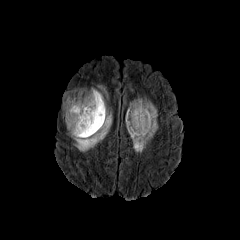
FLAIR MRI.
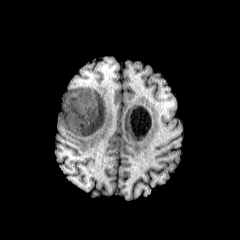
T1-weighted MR image.
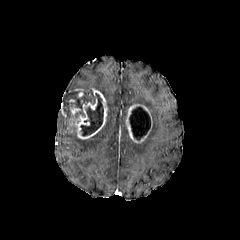
Post-contrast T1-weighted magnetic resonance.
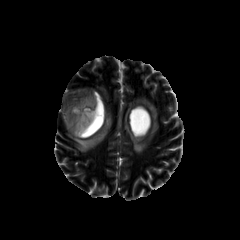
T2-weighted magnetic resonance.
Axial slice
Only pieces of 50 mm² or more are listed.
necrotic tumor core — [x1=75, y1=98, x2=84, y2=115], [x1=129, y1=107, x2=150, y2=140], [x1=80, y1=93, x2=103, y2=135]
peritumoral edema — [x1=69, y1=110, x2=112, y2=151], [x1=129, y1=98, x2=158, y2=152], [x1=65, y1=99, x2=70, y2=117], [x1=98, y1=86, x2=107, y2=98]
enhancing tumor — [x1=125, y1=104, x2=152, y2=143], [x1=67, y1=88, x2=107, y2=139]